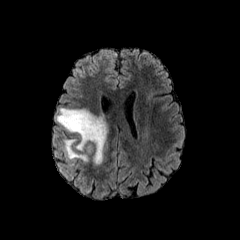
FLAIR MR.
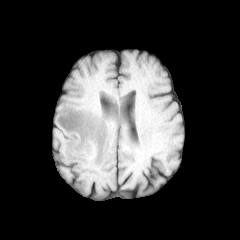
T1-weighted MR image.
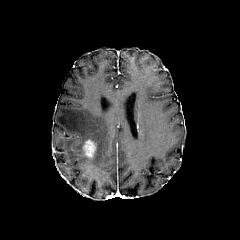
Post-contrast T1-weighted magnetic resonance.
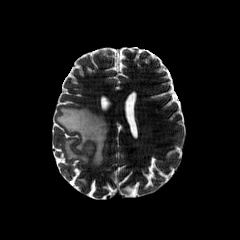
T2-weighted MRI.
Image size 240x240, Brain, Axial plane
enhancing tumor — [83, 139, 95, 156]
peritumoral edema — [56, 107, 107, 165]